Head; 240x240 px; Slice index 79
FLAIR MR image.
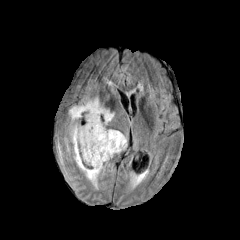
T1-weighted MR.
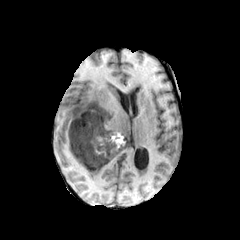
Post-contrast T1-weighted MR image.
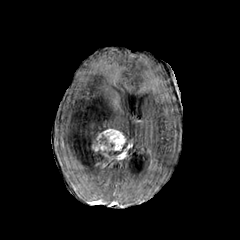
T2-weighted MR image.
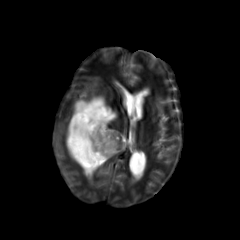
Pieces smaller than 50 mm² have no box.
necrotic_tumor_core:
  - [x1=87, y1=133, x2=97, y2=149]
  - [x1=95, y1=150, x2=107, y2=163]
enhancing_tumor:
  - [x1=91, y1=129, x2=126, y2=159]
peritumoral_edema:
  - [x1=65, y1=96, x2=115, y2=185]